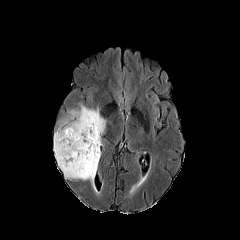
FLAIR magnetic resonance.
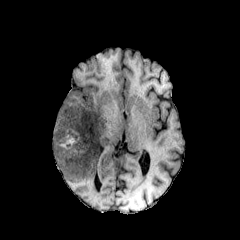
Same slice, T1-weighted MRI.
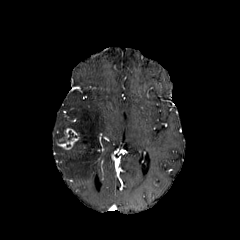
Same slice, post-contrast T1-weighted MR image.
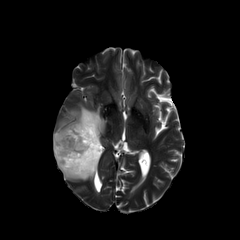
T2-weighted MR of the same slice.
240x240 px.
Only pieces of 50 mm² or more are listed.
enhancing tumor: bounding box x1=57 y1=128 x2=79 y2=150
peritumoral edema: bounding box x1=54 y1=105 x2=105 y2=188
necrotic tumor core: bounding box x1=59 y1=131 x2=76 y2=143